FLAIR magnetic resonance.
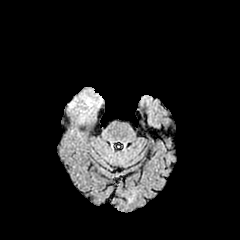
T1-weighted magnetic resonance.
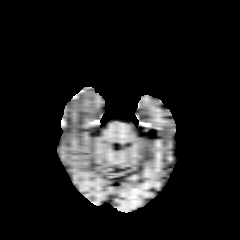
Post-contrast T1-weighted MR.
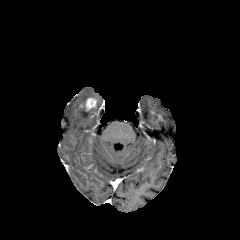
T2-weighted MR image.
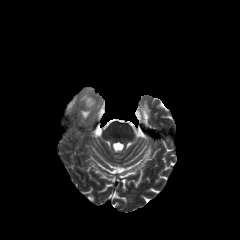
Brain
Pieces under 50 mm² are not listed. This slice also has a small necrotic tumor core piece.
peritumoral edema: bounding box (77, 108, 90, 121)
enhancing tumor: bounding box (81, 97, 97, 111)